Axial plane.
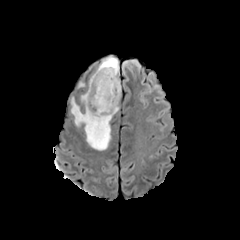
FLAIR MRI.
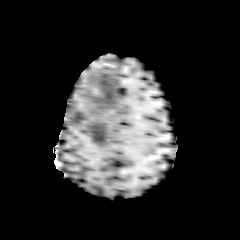
T1-weighted MRI of the same slice.
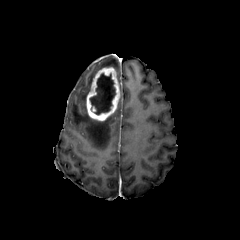
Post-contrast T1-weighted MR.
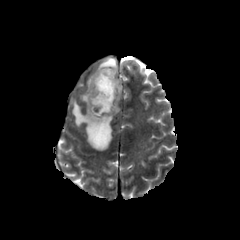
T2-weighted MR of the same slice.
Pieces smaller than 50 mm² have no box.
The necrotic tumor core is bounded by {"x1": 90, "y1": 73, "x2": 115, "y2": 114}. The enhancing tumor lies within {"x1": 86, "y1": 67, "x2": 120, "y2": 121}. The 2 largest peritumoral edema regions appear at {"x1": 71, "y1": 101, "x2": 112, "y2": 150}, {"x1": 97, "y1": 55, "x2": 119, "y2": 73}.